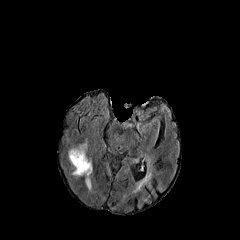
FLAIR MRI.
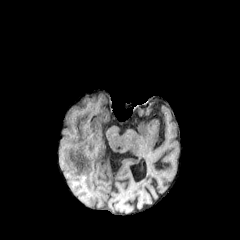
T1-weighted MR image.
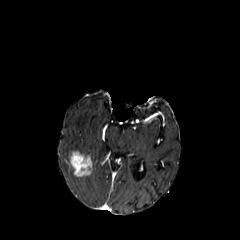
Post-contrast T1-weighted MR of the same slice.
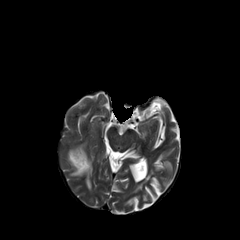
T2-weighted magnetic resonance.
Axial view, Head
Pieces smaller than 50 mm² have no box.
<segmentation>
  <peritumoral_edema>[x1=85, y1=175, x2=91, y2=190], [x1=68, y1=143, x2=86, y2=161]</peritumoral_edema>
  <enhancing_tumor>[x1=70, y1=151, x2=92, y2=176]</enhancing_tumor>
</segmentation>